FLAIR MRI.
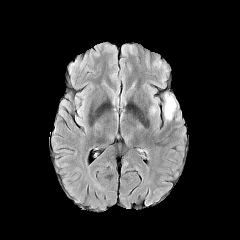
T1-weighted MR image.
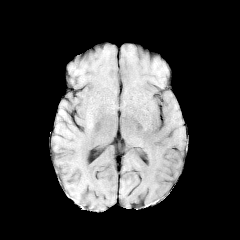
Post-contrast T1-weighted MRI.
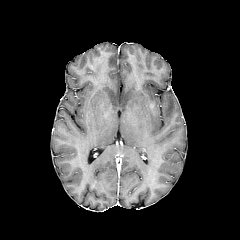
T2-weighted MR.
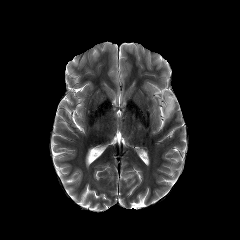
Brain; Axial slice; 240x240 px
peritumoral_edema:
  - 150 100 159 114
  - 163 92 176 120